Brain, Slice 61 of 155, Axial slice
FLAIR MRI.
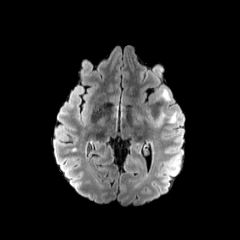
T1-weighted MR image.
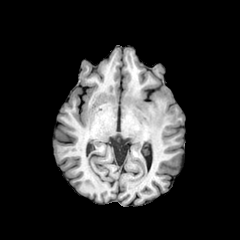
Post-contrast T1-weighted MRI.
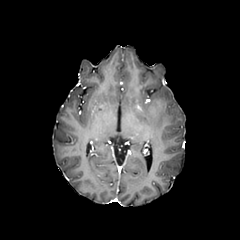
T2-weighted MRI.
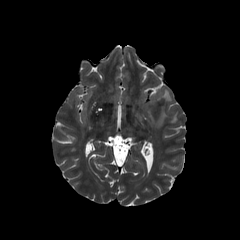
{
  "peritumoral_edema": [
    "(161, 88, 170, 100)",
    "(145, 107, 176, 127)"
  ]
}